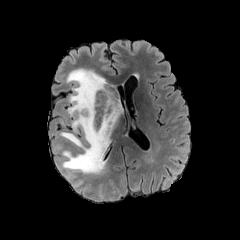
FLAIR MR image.
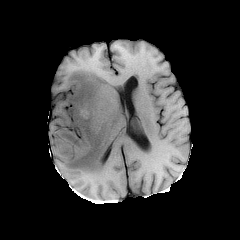
T1-weighted MRI.
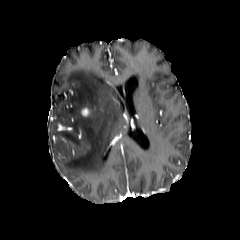
Same slice, post-contrast T1-weighted MR image.
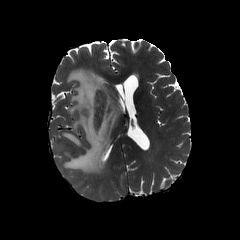
T2-weighted magnetic resonance.
Axial view, Image size 240x240, Head
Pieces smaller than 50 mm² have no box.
The largest peritumoral edema region is located at box=[61, 68, 123, 174]. The enhancing tumor lies within box=[81, 106, 93, 117].